Image size 240x240, Brain
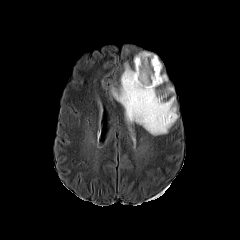
FLAIR MR.
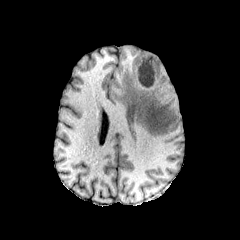
Same slice, T1-weighted MRI.
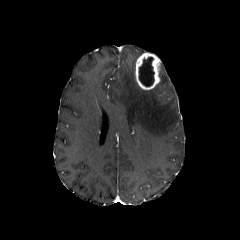
Post-contrast T1-weighted magnetic resonance of the same slice.
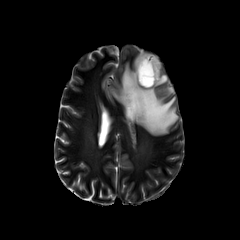
Same slice, T2-weighted MRI.
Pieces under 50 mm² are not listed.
{"necrotic_tumor_core": ["(139,57,154,86)"], "peritumoral_edema": ["(110,63,178,135)", "(156,64,167,86)"], "enhancing_tumor": ["(135,52,161,89)"]}